Brain. Slice 69/155.
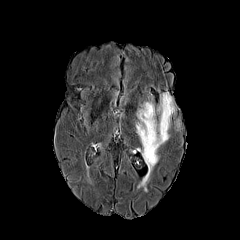
FLAIR MRI.
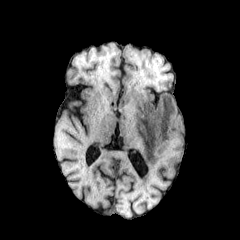
T1-weighted magnetic resonance of the same slice.
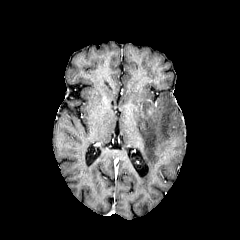
Post-contrast T1-weighted magnetic resonance.
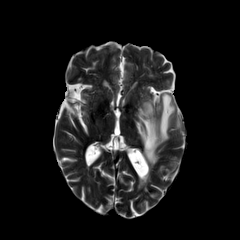
T2-weighted MRI of the same slice.
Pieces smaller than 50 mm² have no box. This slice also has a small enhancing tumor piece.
peritumoral edema — 136, 93, 175, 171